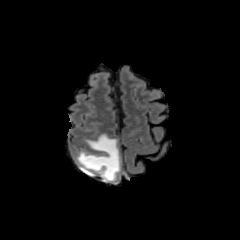
FLAIR MRI.
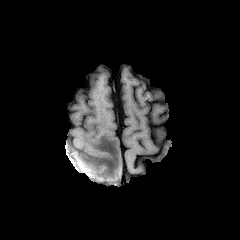
T1-weighted MR image.
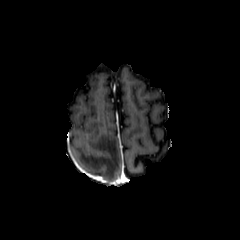
Post-contrast T1-weighted magnetic resonance of the same slice.
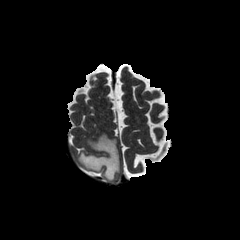
Same slice, T2-weighted MR.
Axial view | 240x240
peritumoral edema: [77, 134, 120, 181]